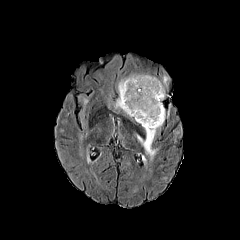
FLAIR MRI.
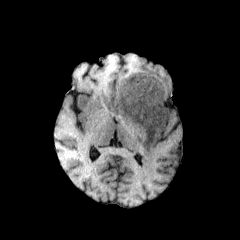
T1-weighted MR of the same slice.
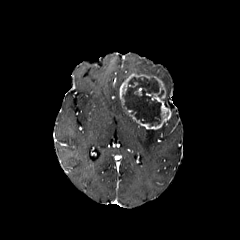
Post-contrast T1-weighted MR of the same slice.
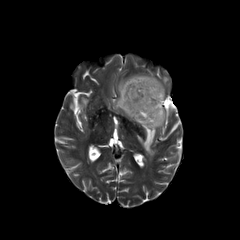
T2-weighted MRI.
Head. Image size 240x240.
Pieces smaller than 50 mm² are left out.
{
  "peritumoral_edema": [
    "x1=137, y1=128, x2=156, y2=159",
    "x1=162, y1=75, x2=168, y2=87",
    "x1=114, y1=98, x2=124, y2=112"
  ],
  "necrotic_tumor_core": [
    "x1=123, y1=77, x2=161, y2=125"
  ],
  "enhancing_tumor": [
    "x1=119, y1=73, x2=170, y2=129"
  ]
}